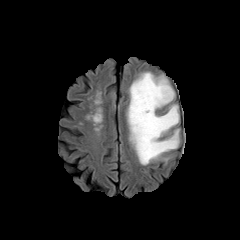
FLAIR MR image.
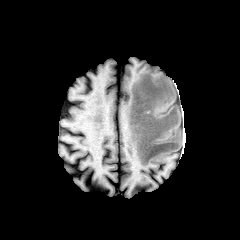
T1-weighted magnetic resonance.
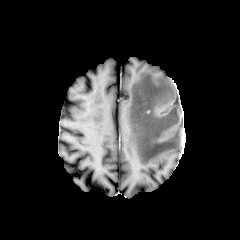
Post-contrast T1-weighted MRI.
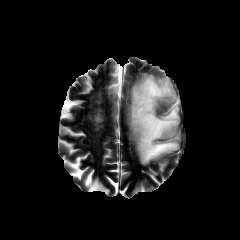
Same slice, T2-weighted MR image.
Axial slice
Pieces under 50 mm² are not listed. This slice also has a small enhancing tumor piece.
peritumoral edema: bounding box (127,72,179,165)